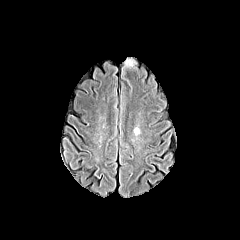
FLAIR MR image.
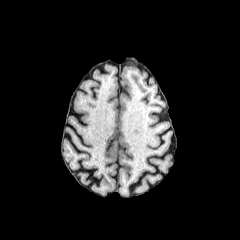
T1-weighted MR image.
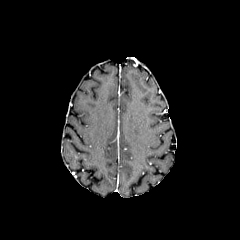
Post-contrast T1-weighted MR.
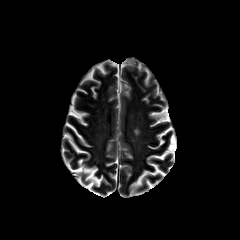
Same slice, T2-weighted MR.
Head
Findings:
* peritumoral edema: (125,59,133,66)